Head | Image covers 240 mm x 240 mm | 240x240
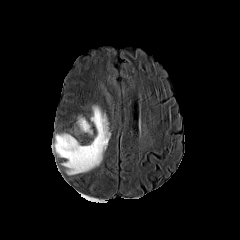
FLAIR MR.
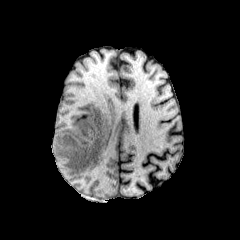
T1-weighted magnetic resonance of the same slice.
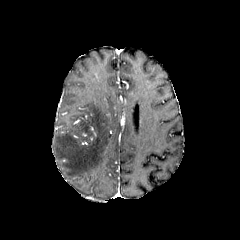
Same slice, post-contrast T1-weighted MR image.
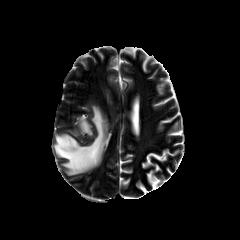
T2-weighted MR image.
peritumoral edema: 53,106,110,175; 79,119,92,135